FLAIR magnetic resonance.
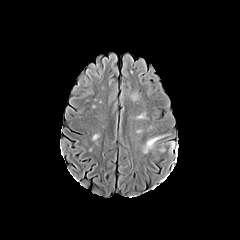
T1-weighted MR.
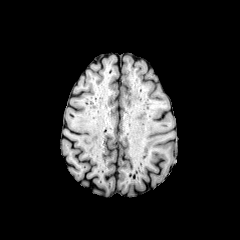
Post-contrast T1-weighted MR image.
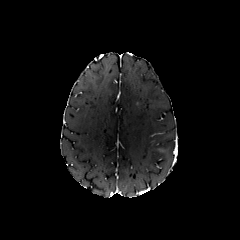
T2-weighted magnetic resonance.
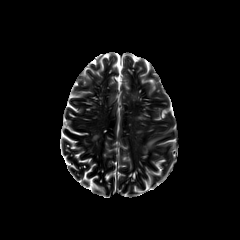
Axial plane. 240x240 px.
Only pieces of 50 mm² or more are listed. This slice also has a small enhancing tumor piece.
peritumoral edema = x1=143 y1=136 x2=163 y2=153